Slice 63/155; Image size 240x240; Head
FLAIR MR image.
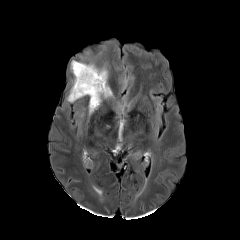
T1-weighted MR image.
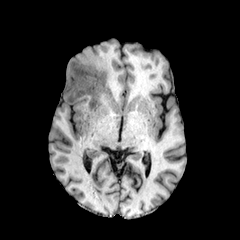
Post-contrast T1-weighted MRI.
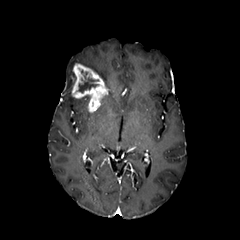
T2-weighted MR.
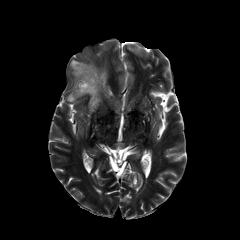
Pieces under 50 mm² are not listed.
necrotic_tumor_core:
  - [79,78,96,92]
enhancing_tumor:
  - [71,63,108,112]
peritumoral_edema:
  - [71,60,112,97]
  - [67,91,76,102]